FLAIR magnetic resonance.
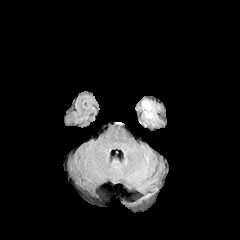
T1-weighted magnetic resonance.
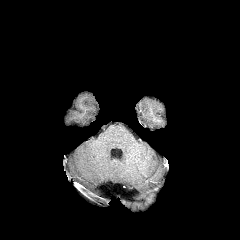
Post-contrast T1-weighted MR image.
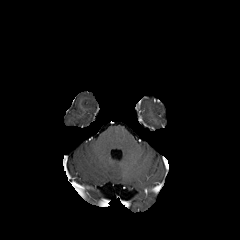
T2-weighted MRI.
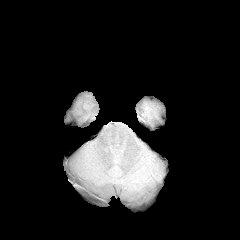
Axial view | Brain
peritumoral edema = x1=142, y1=100, x2=155, y2=119